Image size 240x240, Slice 117 of 155, Image covers 240 mm x 240 mm, Head
FLAIR magnetic resonance.
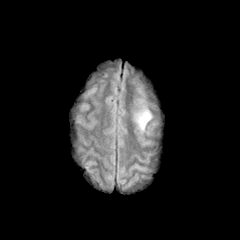
T1-weighted MR image.
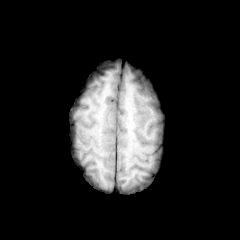
Post-contrast T1-weighted magnetic resonance.
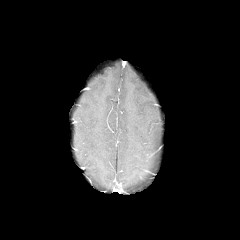
T2-weighted MRI.
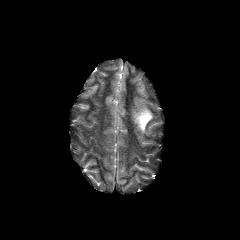
peritumoral edema = box=[135, 109, 151, 130]